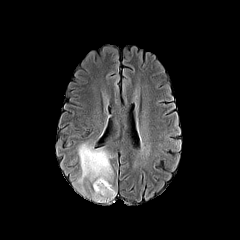
FLAIR MR.
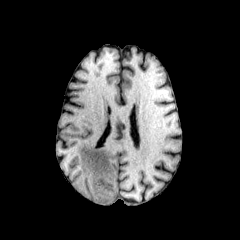
Same slice, T1-weighted magnetic resonance.
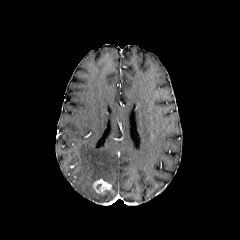
Same slice, post-contrast T1-weighted MRI.
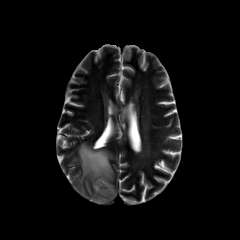
T2-weighted MRI.
Head
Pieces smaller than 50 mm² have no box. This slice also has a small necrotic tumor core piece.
peritumoral_edema:
  - box(77, 143, 116, 202)
enhancing_tumor:
  - box(93, 178, 112, 194)